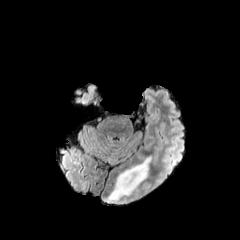
FLAIR MRI.
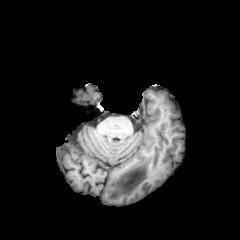
T1-weighted magnetic resonance.
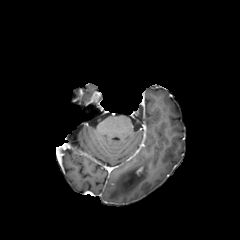
Post-contrast T1-weighted MRI of the same slice.
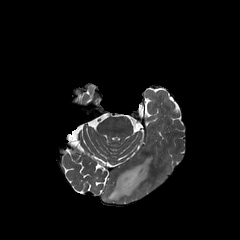
T2-weighted MRI.
Image size 240x240; Head
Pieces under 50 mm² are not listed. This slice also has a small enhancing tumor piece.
<segmentation>
  <peritumoral_edema>(left=103, top=155, right=152, bottom=204)</peritumoral_edema>
</segmentation>